Brain, Axial slice, 240x240
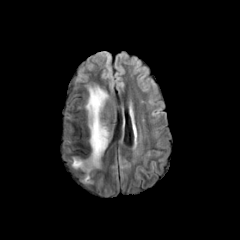
FLAIR MRI.
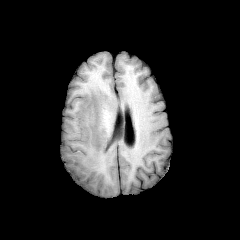
Same slice, T1-weighted MR image.
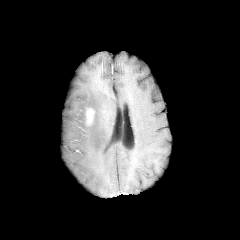
Post-contrast T1-weighted magnetic resonance of the same slice.
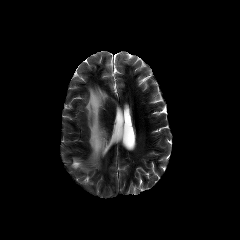
T2-weighted MRI of the same slice.
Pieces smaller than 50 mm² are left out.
The enhancing tumor is located at x1=86, y1=109, x2=94, y2=124. The 2 largest peritumoral edema regions appear at x1=72, y1=158, x2=89, y2=171; x1=86, y1=87, x2=107, y2=166.